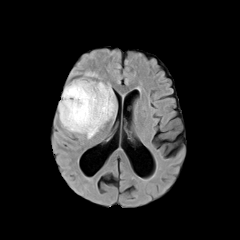
FLAIR MR.
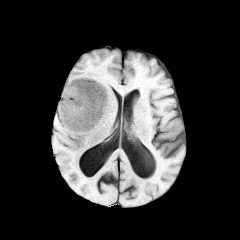
Same slice, T1-weighted MR.
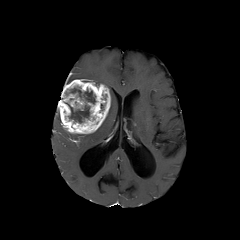
Post-contrast T1-weighted magnetic resonance.
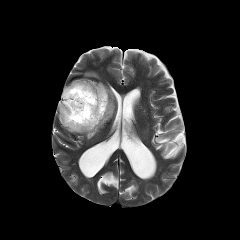
T2-weighted MR.
Image size 240x240 | Brain
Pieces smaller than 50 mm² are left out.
Findings:
* necrotic tumor core: (x1=83, y1=91, x2=95, y2=103), (x1=70, y1=88, x2=81, y2=97), (x1=66, y1=103, x2=89, y2=122)
* enhancing tumor: (x1=58, y1=79, x2=110, y2=134)
* peritumoral edema: (x1=75, y1=85, x2=115, y2=139), (x1=85, y1=72, x2=97, y2=76)